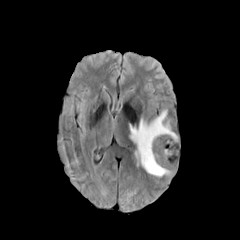
FLAIR MR image.
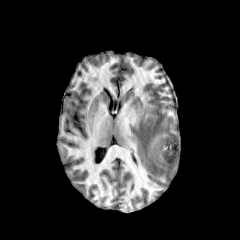
T1-weighted MRI.
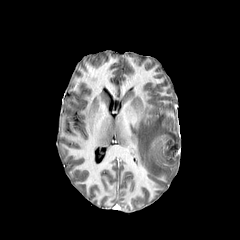
Post-contrast T1-weighted magnetic resonance of the same slice.
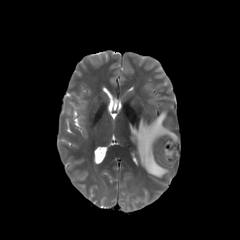
T2-weighted MR.
Head; 240x240 px
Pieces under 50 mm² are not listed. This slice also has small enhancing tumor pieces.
<segmentation>
  <necrotic_tumor_core><box>164,137,179,163</box></necrotic_tumor_core>
  <peritumoral_edema><box>129,111,173,176</box></peritumoral_edema>
</segmentation>